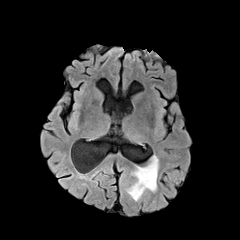
FLAIR magnetic resonance.
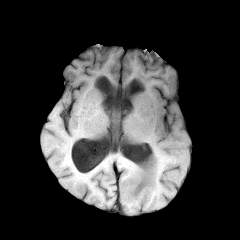
T1-weighted magnetic resonance.
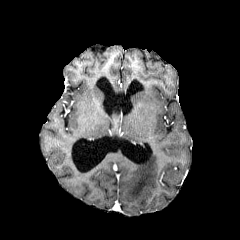
Post-contrast T1-weighted MR image.
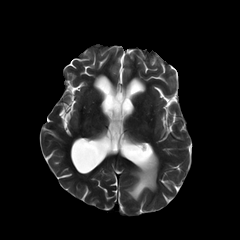
Same slice, T2-weighted magnetic resonance.
240x240. Axial plane.
<segmentation>
  <peritumoral_edema>region(125, 155, 158, 200)</peritumoral_edema>
</segmentation>